FLAIR MRI.
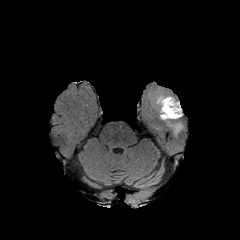
T1-weighted MR.
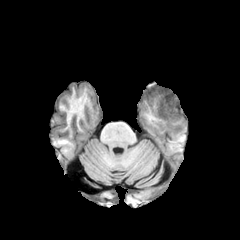
Post-contrast T1-weighted MR image.
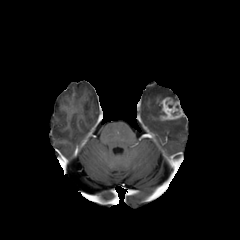
T2-weighted MR image.
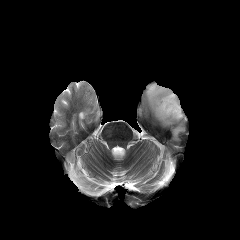
Brain
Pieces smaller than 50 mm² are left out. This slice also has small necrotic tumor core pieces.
peritumoral_edema:
  - 174 124 182 135
  - 155 95 175 115
enhancing_tumor:
  - 159 97 183 120